FLAIR MR.
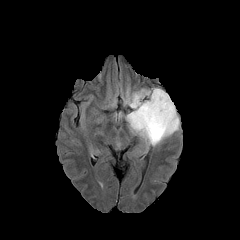
T1-weighted MR image.
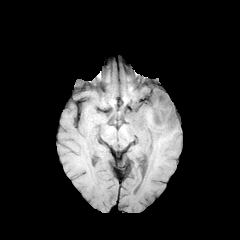
Post-contrast T1-weighted MR.
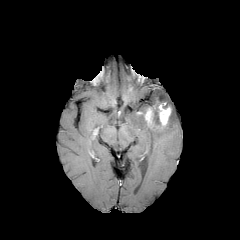
T2-weighted MR.
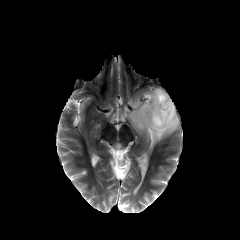
240x240 px | Axial slice
Annotated regions:
• peritumoral edema: (x1=125, y1=88, x2=179, y2=145)
• enhancing tumor: (x1=137, y1=99, x2=172, y2=130)